Head
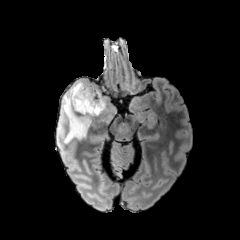
FLAIR MR.
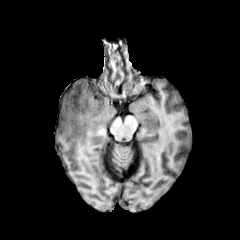
Same slice, T1-weighted MR image.
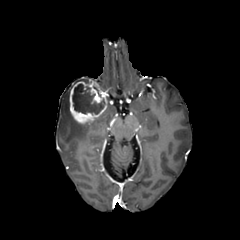
Post-contrast T1-weighted MR.
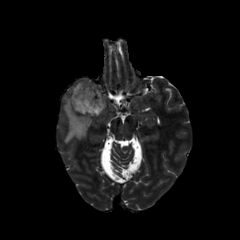
T2-weighted MR image.
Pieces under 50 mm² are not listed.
<segmentation>
  <enhancing_tumor>[69,81,107,124]</enhancing_tumor>
  <peritumoral_edema>[61,88,91,142]</peritumoral_edema>
  <necrotic_tumor_core>[72,83,104,114]</necrotic_tumor_core>
</segmentation>